Slice 89/155
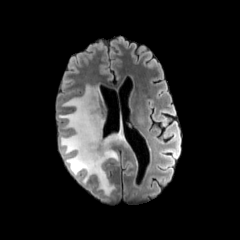
FLAIR MR.
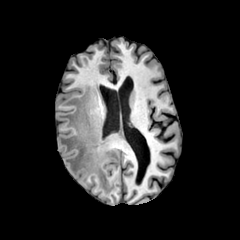
T1-weighted magnetic resonance of the same slice.
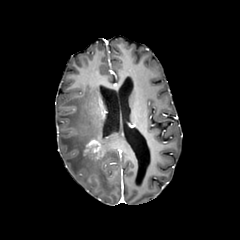
Post-contrast T1-weighted MR image.
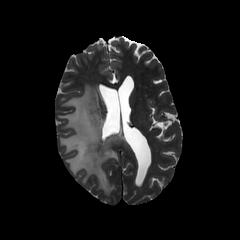
T2-weighted magnetic resonance of the same slice.
peritumoral edema — left=58, top=85, right=129, bottom=196
enhancing tumor — left=83, top=138, right=102, bottom=158